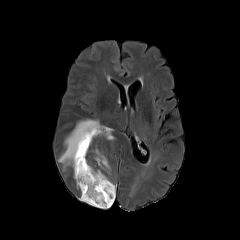
FLAIR MRI.
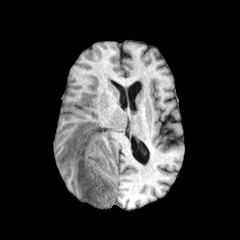
T1-weighted MRI.
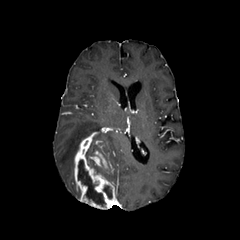
Post-contrast T1-weighted MRI of the same slice.
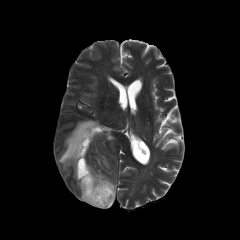
T2-weighted MR.
Axial plane. 240x240.
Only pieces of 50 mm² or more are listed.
<segmentation>
  <enhancing_tumor>[x1=90, y1=150, x2=107, y2=168], [x1=74, y1=132, x2=115, y2=209]</enhancing_tumor>
  <necrotic_tumor_core>[x1=78, y1=160, x2=105, y2=206], [x1=86, y1=155, x2=99, y2=172], [x1=103, y1=185, x2=112, y2=198]</necrotic_tumor_core>
  <peritumoral_edema>[x1=58, y1=119, x2=114, y2=170]</peritumoral_edema>
</segmentation>